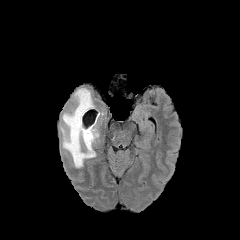
FLAIR magnetic resonance.
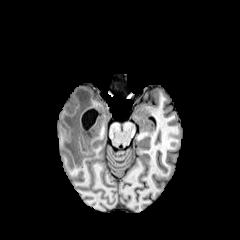
Same slice, T1-weighted MR image.
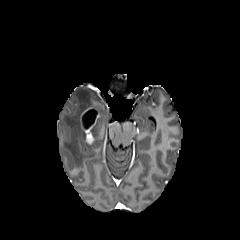
Post-contrast T1-weighted MR of the same slice.
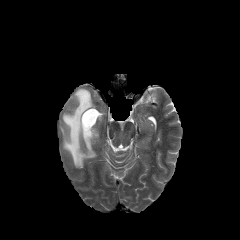
Same slice, T2-weighted MR.
240x240 px. Head. Axial slice.
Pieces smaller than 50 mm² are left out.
peritumoral edema = 91 124 98 141, 61 88 95 167
enhancing tumor = 80 116 93 144